Slice 94/155, Brain, Axial plane, Image width 240 mm
FLAIR MR image.
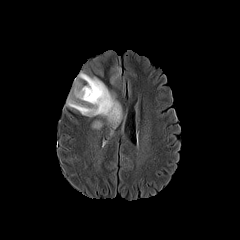
T1-weighted magnetic resonance.
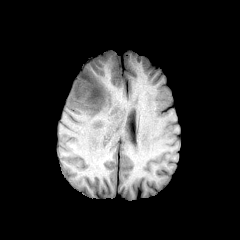
Post-contrast T1-weighted MRI.
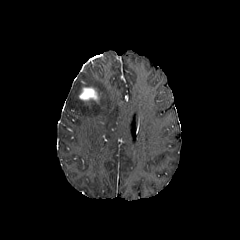
T2-weighted magnetic resonance.
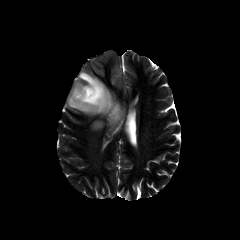
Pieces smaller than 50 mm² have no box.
enhancing_tumor:
  - 78:86:99:103
peritumoral_edema:
  - 66:52:122:128
  - 92:120:102:129